FLAIR MRI.
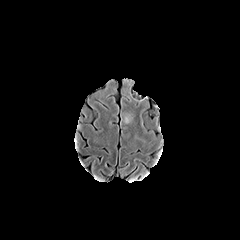
T1-weighted MR.
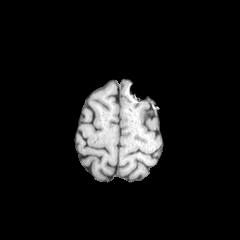
Post-contrast T1-weighted MRI.
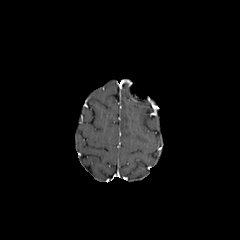
T2-weighted MR image.
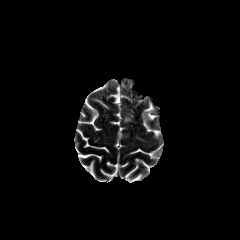
Axial view
The peritumoral edema appears at bbox=[123, 112, 133, 123].